Slice 121 of 155 | Brain
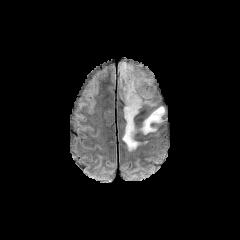
FLAIR magnetic resonance.
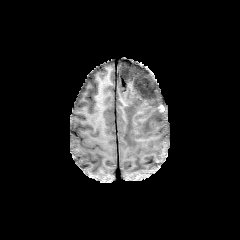
T1-weighted MRI.
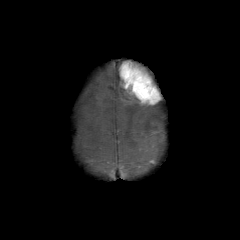
Same slice, post-contrast T1-weighted magnetic resonance.
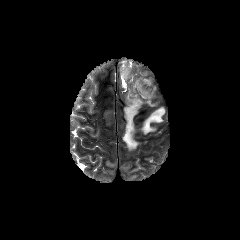
T2-weighted MR.
enhancing tumor — (119,61,160,105)
peritumoral edema — (141,107,164,134), (122,93,140,150)